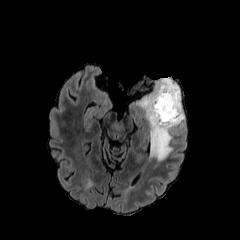
FLAIR MR.
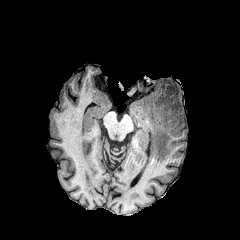
T1-weighted MR image.
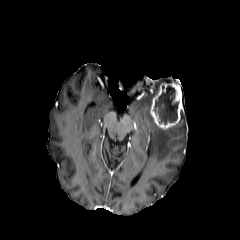
Post-contrast T1-weighted magnetic resonance.
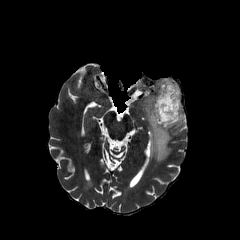
Same slice, T2-weighted MR.
240x240 px; Brain
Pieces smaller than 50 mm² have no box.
necrotic tumor core: bounding box 154:85:178:123
enhancing tumor: bounding box 150:82:183:129
peritumoral edema: bounding box 137:77:185:161